FLAIR MRI.
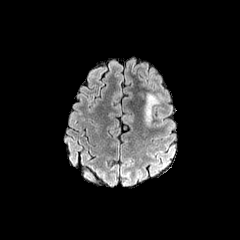
T1-weighted magnetic resonance.
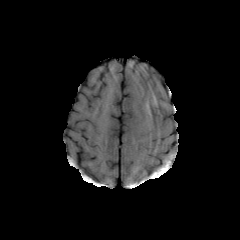
Post-contrast T1-weighted MR image.
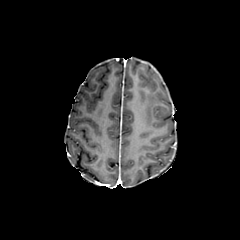
T2-weighted MRI.
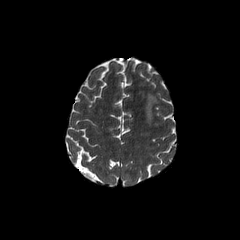
Head
peritumoral edema = left=145, top=93, right=159, bottom=124